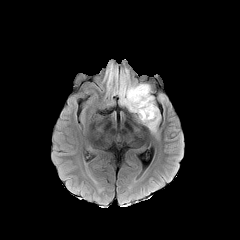
FLAIR MRI.
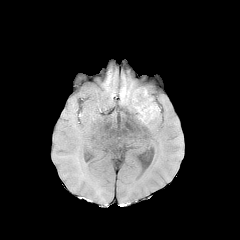
T1-weighted MR image.
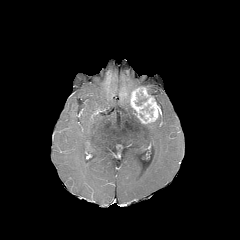
Post-contrast T1-weighted MRI.
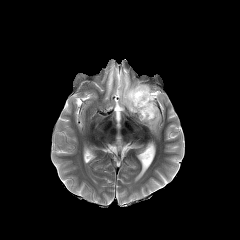
T2-weighted magnetic resonance of the same slice.
Brain
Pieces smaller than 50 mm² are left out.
peritumoral edema: rect(116, 82, 151, 112); rect(145, 110, 160, 132) | enhancing tumor: rect(130, 86, 159, 123) | necrotic tumor core: rect(135, 94, 147, 105)